FLAIR MR image.
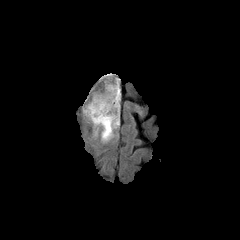
T1-weighted magnetic resonance.
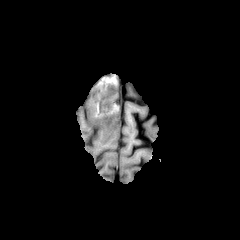
Post-contrast T1-weighted MR.
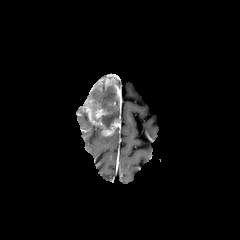
T2-weighted MR image.
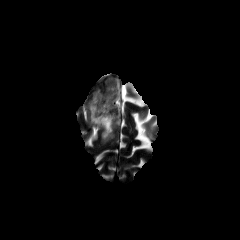
Axial view; Brain
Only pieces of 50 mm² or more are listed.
necrotic_tumor_core:
  - (92,85,119,129)
peritumoral_edema:
  - (101,132,115,142)
enhancing_tumor:
  - (83,79,121,136)